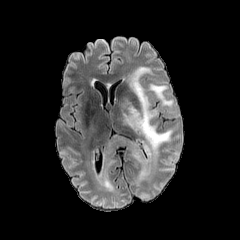
FLAIR MR image.
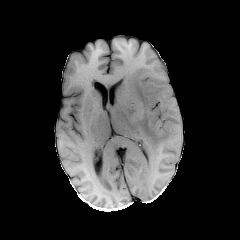
T1-weighted MRI of the same slice.
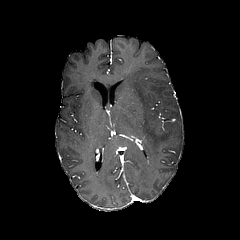
Post-contrast T1-weighted magnetic resonance.
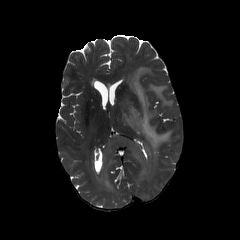
Same slice, T2-weighted MR image.
Head
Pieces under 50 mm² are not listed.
peritumoral edema: [x1=108, y1=136, x2=144, y2=162], [x1=119, y1=66, x2=173, y2=157]